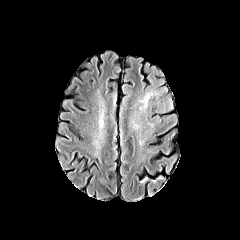
FLAIR magnetic resonance.
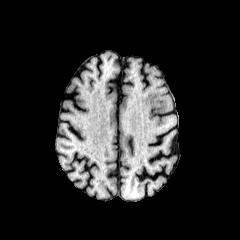
T1-weighted MR image.
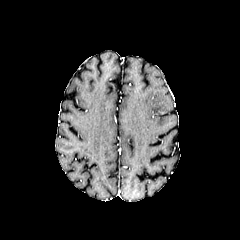
Post-contrast T1-weighted MRI.
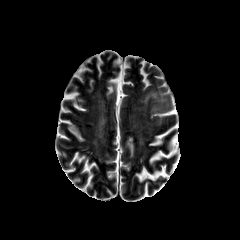
T2-weighted magnetic resonance of the same slice.
Head
Annotated regions:
• peritumoral edema: (140, 91, 156, 108)